Slice index 95; Axial slice
FLAIR MR image.
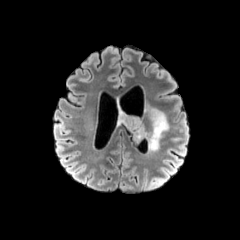
T1-weighted MRI.
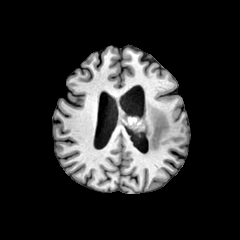
Post-contrast T1-weighted magnetic resonance.
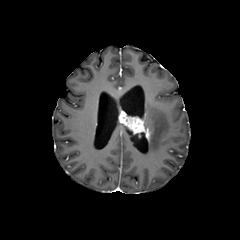
T2-weighted MR.
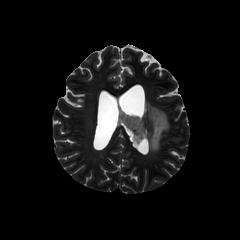
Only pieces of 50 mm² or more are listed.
Segmented structures:
- peritumoral edema: x1=147 y1=106 x2=169 y2=151
- enhancing tumor: x1=119 y1=112 x2=150 y2=140